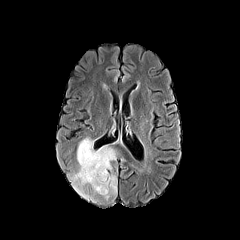
FLAIR MRI.
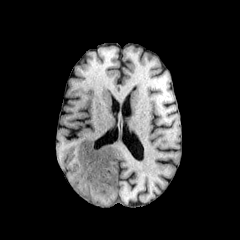
Same slice, T1-weighted MR image.
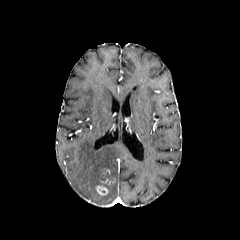
Same slice, post-contrast T1-weighted magnetic resonance.
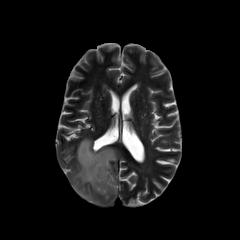
T2-weighted MR.
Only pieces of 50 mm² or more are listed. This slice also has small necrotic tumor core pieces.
<segmentation>
  <peritumoral_edema>l=70, t=137, r=117, b=202</peritumoral_edema>
  <enhancing_tumor>l=96, t=185, r=108, b=195</enhancing_tumor>
</segmentation>